Slice 86 of 155, Image width 240 mm, 1.00 mm slice spacing
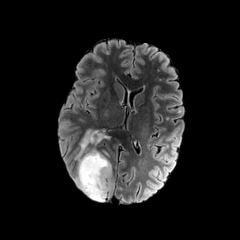
FLAIR MR image.
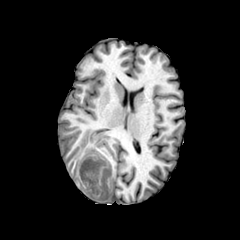
Same slice, T1-weighted magnetic resonance.
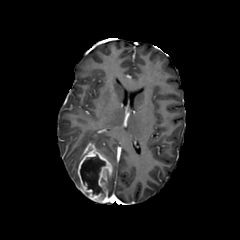
Post-contrast T1-weighted MR image of the same slice.
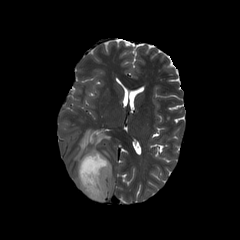
T2-weighted MR image.
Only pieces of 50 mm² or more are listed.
The 2 largest peritumoral edema regions are located at <bbox>74, 128, 110, 187</bbox>, <bbox>108, 173, 113, 196</bbox>. The enhancing tumor appears at <bbox>77, 143, 112, 202</bbox>. The necrotic tumor core appears at <bbox>80, 155, 105, 194</bbox>.